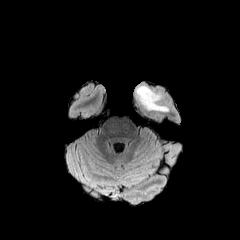
FLAIR magnetic resonance.
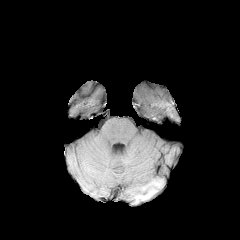
Same slice, T1-weighted MRI.
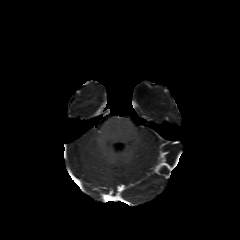
Post-contrast T1-weighted MR.
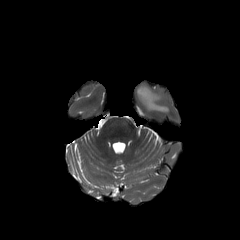
Same slice, T2-weighted MRI.
Axial plane | Brain
Segmented structures:
- peritumoral edema: {"x1": 134, "y1": 84, "x2": 169, "y2": 112}